Image width 240 mm, 1.00 mm slice spacing. 240x240. Brain.
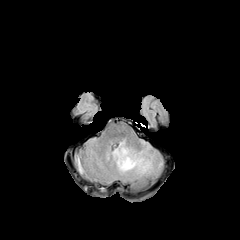
FLAIR MRI.
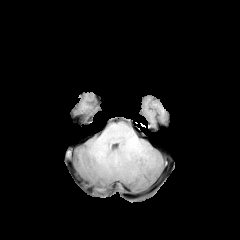
T1-weighted MR image.
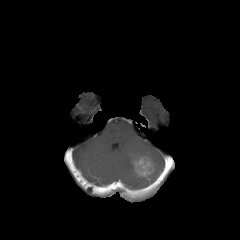
Post-contrast T1-weighted magnetic resonance.
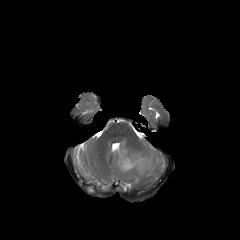
T2-weighted MRI.
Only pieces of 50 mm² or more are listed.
<segmentation>
  <enhancing_tumor>(132,156,153,176)</enhancing_tumor>
  <peritumoral_edema>(111,139,162,180)</peritumoral_edema>
</segmentation>